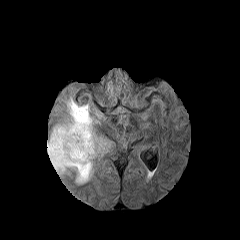
FLAIR MRI.
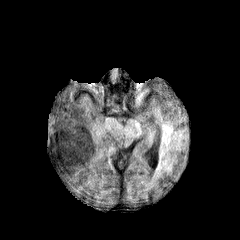
T1-weighted MRI.
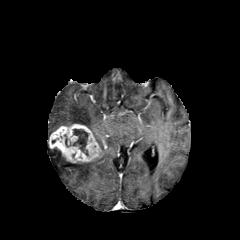
Same slice, post-contrast T1-weighted MRI.
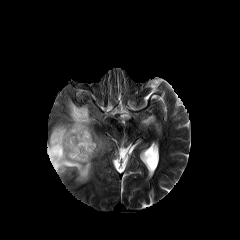
Same slice, T2-weighted MR image.
Axial slice, Brain
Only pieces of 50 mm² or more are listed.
The 2 largest peritumoral edema regions are bounded by (x1=47, y1=140, x2=93, y2=183), (x1=52, y1=98, x2=107, y2=155). The largest enhancing tumor region appears at (x1=49, y1=124, x2=101, y2=163). The 2 largest necrotic tumor core regions are located at (x1=70, y1=129, x2=88, y2=155), (x1=50, y1=147, x2=61, y2=155).